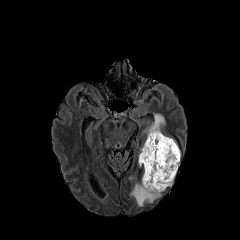
FLAIR MR image.
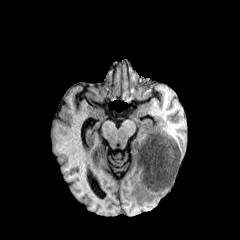
Same slice, T1-weighted MRI.
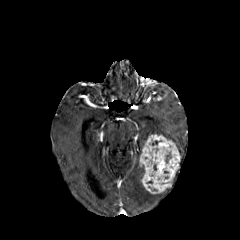
Post-contrast T1-weighted MR.
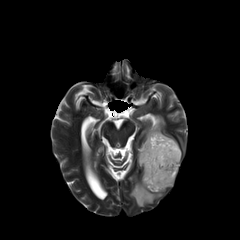
Same slice, T2-weighted magnetic resonance.
Head.
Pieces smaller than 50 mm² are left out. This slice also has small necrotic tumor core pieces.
enhancing tumor: box=[139, 134, 180, 193] | peritumoral edema: box=[130, 182, 161, 206]; box=[142, 114, 178, 148]